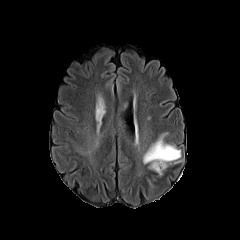
FLAIR MR image.
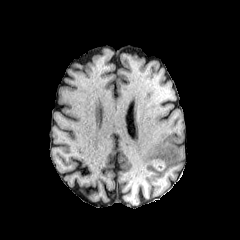
T1-weighted MR image of the same slice.
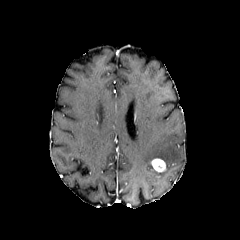
Post-contrast T1-weighted MR image.
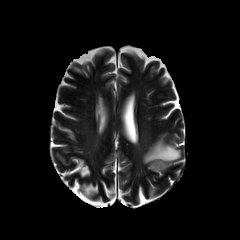
T2-weighted magnetic resonance.
Head | Image size 240x240
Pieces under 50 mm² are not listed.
The largest peritumoral edema region appears at <box>143,133,181,169</box>. The enhancing tumor is located at <box>151,158,165,172</box>.